FLAIR MRI.
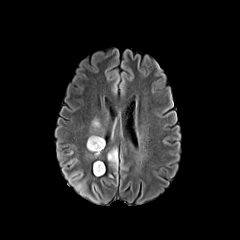
T1-weighted MR image.
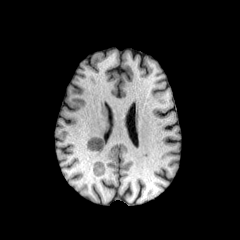
Post-contrast T1-weighted magnetic resonance.
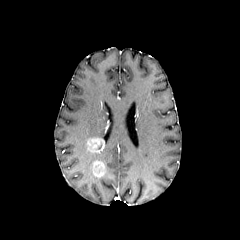
T2-weighted MRI.
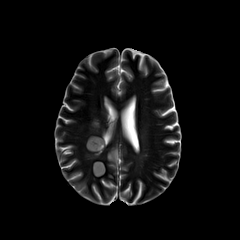
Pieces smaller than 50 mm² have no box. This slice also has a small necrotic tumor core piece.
<segmentation>
  <enhancing_tumor><bbox>87, 137, 104, 153</bbox>, <bbox>93, 161, 104, 176</bbox></enhancing_tumor>
  <peritumoral_edema><bbox>108, 149, 117, 165</bbox></peritumoral_edema>
</segmentation>